FLAIR magnetic resonance.
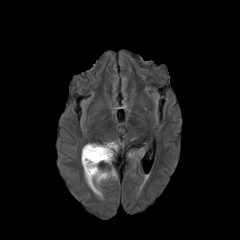
T1-weighted MR image.
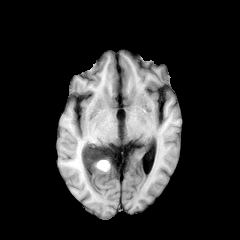
Post-contrast T1-weighted MRI.
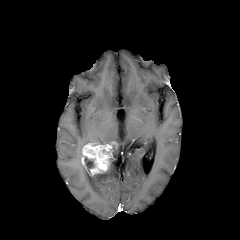
T2-weighted MRI.
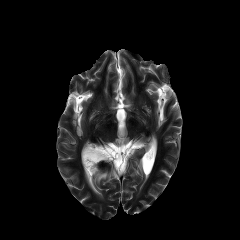
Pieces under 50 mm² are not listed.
enhancing_tumor:
  - l=81, t=142, r=117, b=175
necrotic_tumor_core:
  - l=84, t=157, r=94, b=170
peritumoral_edema:
  - l=129, t=148, r=144, b=162
  - l=83, t=166, r=117, b=197